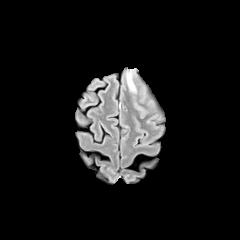
FLAIR MRI.
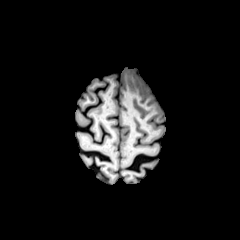
Same slice, T1-weighted MRI.
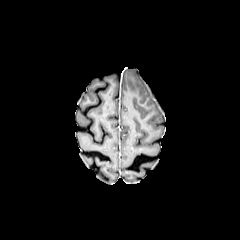
Post-contrast T1-weighted MR.
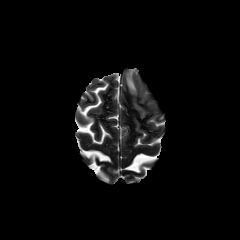
T2-weighted MR image of the same slice.
Axial slice.
<segmentation>
  <peritumoral_edema>x1=127, y1=71, x2=135, y2=92</peritumoral_edema>
</segmentation>